Image covers 240 mm x 240 mm | Slice 109/155
FLAIR MR.
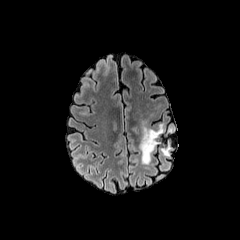
T1-weighted MR.
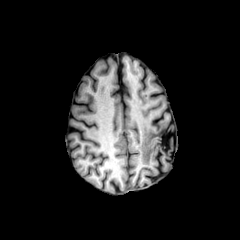
Post-contrast T1-weighted magnetic resonance.
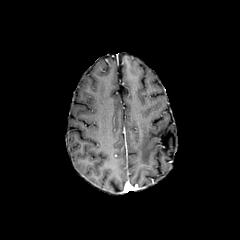
T2-weighted MR.
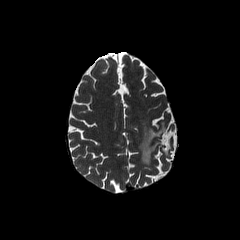
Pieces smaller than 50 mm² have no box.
The 2 largest peritumoral edema regions are located at bbox=[161, 140, 171, 155]; bbox=[139, 124, 164, 164].